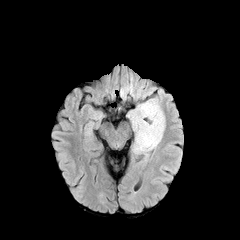
FLAIR MR image.
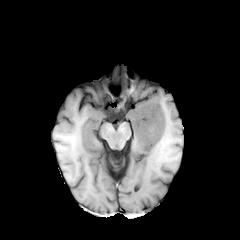
T1-weighted MR image of the same slice.
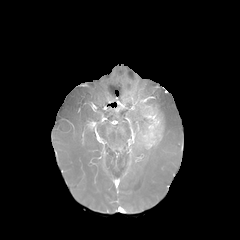
Post-contrast T1-weighted magnetic resonance.
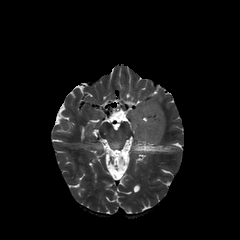
T2-weighted MR image.
Brain | 240x240 | Axial plane
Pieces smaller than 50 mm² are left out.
Annotated regions:
- enhancing tumor: [x1=135, y1=104, x2=163, y2=148]
- peritumoral edema: [x1=144, y1=98, x2=165, y2=130], [x1=127, y1=104, x2=160, y2=155]